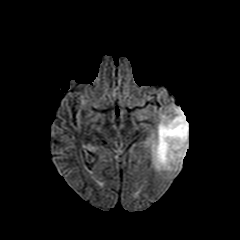
FLAIR MRI.
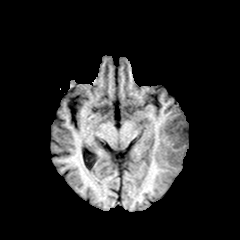
T1-weighted magnetic resonance.
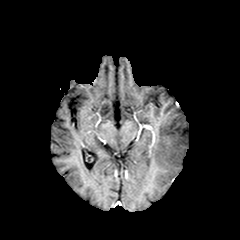
Post-contrast T1-weighted MRI.
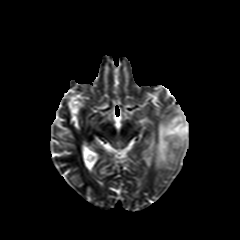
T2-weighted MR image of the same slice.
Axial view
peritumoral edema: 151,106,188,170